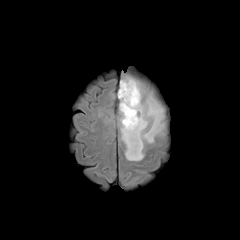
FLAIR magnetic resonance.
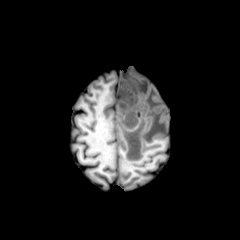
Same slice, T1-weighted MR.
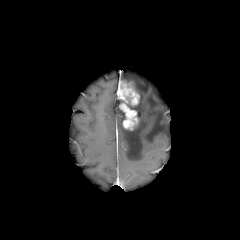
Post-contrast T1-weighted MR image of the same slice.
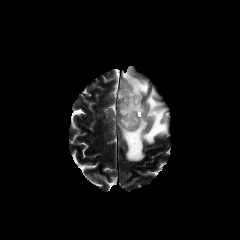
T2-weighted MR of the same slice.
Axial plane | Brain
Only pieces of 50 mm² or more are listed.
<segmentation>
  <enhancing_tumor>box(117, 81, 139, 129)</enhancing_tumor>
  <peritumoral_edema>box(119, 74, 165, 161)</peritumoral_edema>
</segmentation>